FLAIR MR.
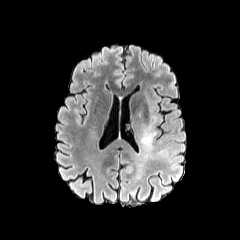
T1-weighted MR image.
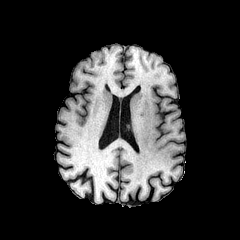
Post-contrast T1-weighted magnetic resonance.
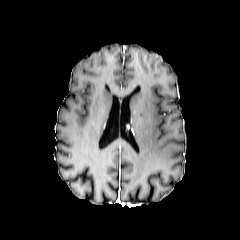
T2-weighted MR image.
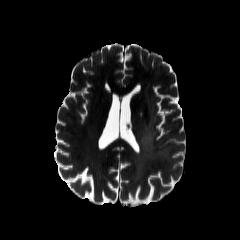
Image size 240x240; Axial slice; Brain
The peritumoral edema is at [140,92,163,149].